FLAIR MR.
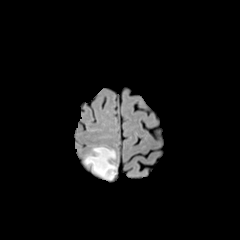
T1-weighted magnetic resonance.
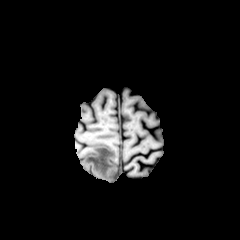
Post-contrast T1-weighted magnetic resonance.
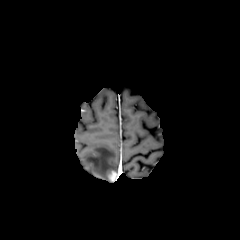
T2-weighted MRI.
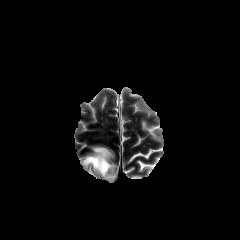
Axial plane | Head
peritumoral edema at (left=85, top=147, right=114, bottom=178)
enhancing tumor at (left=109, top=171, right=116, bottom=180)